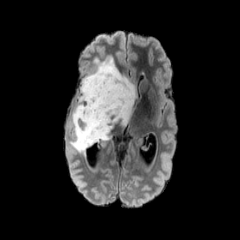
FLAIR magnetic resonance.
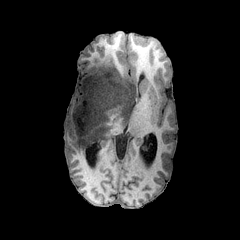
T1-weighted MRI.
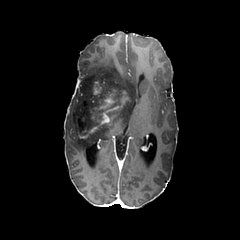
Post-contrast T1-weighted MR image.
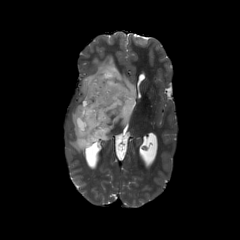
Same slice, T2-weighted MR image.
Brain; Image size 240x240
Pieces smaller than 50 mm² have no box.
Annotated regions:
- necrotic tumor core: 78 120 84 131
- enhancing tumor: 99 93 114 108, 77 118 89 138, 100 106 119 124, 93 82 102 94, 121 91 128 107
- peritumoral edema: 70 55 136 155